FLAIR MR image.
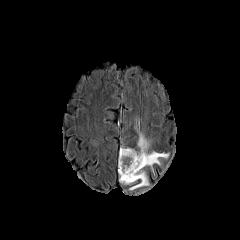
T1-weighted MRI.
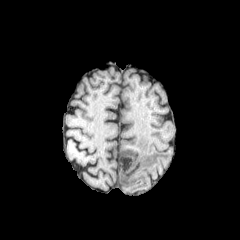
Post-contrast T1-weighted MRI.
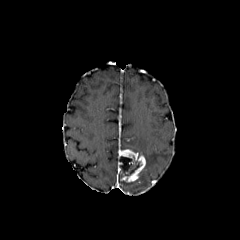
T2-weighted magnetic resonance.
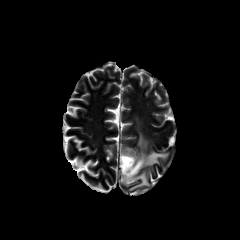
Axial slice. 240x240.
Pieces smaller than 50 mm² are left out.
enhancing tumor — (118, 149, 145, 182)
peritumoral edema — (137, 131, 169, 172), (119, 168, 148, 190)
necrotic tumor core — (120, 156, 132, 173), (125, 162, 139, 175)